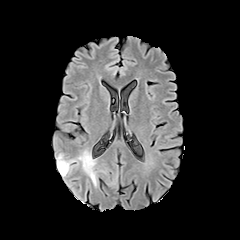
FLAIR MRI.
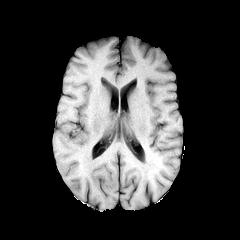
T1-weighted MR image.
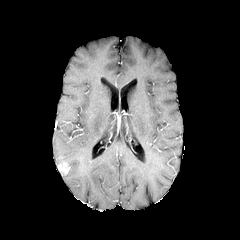
Post-contrast T1-weighted MRI.
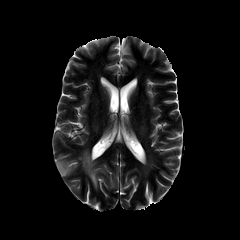
T2-weighted magnetic resonance of the same slice.
Image size 240x240; Head
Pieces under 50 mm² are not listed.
The 2 largest peritumoral edema regions appear at x1=57, y1=155, x2=77, y2=173; x1=78, y1=151, x2=97, y2=187. The enhancing tumor lies within x1=58, y1=162, x2=69, y2=174.